Head; Slice 58/155
FLAIR magnetic resonance.
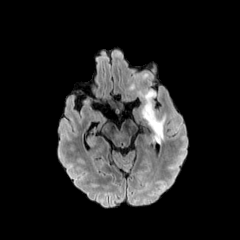
T1-weighted MR.
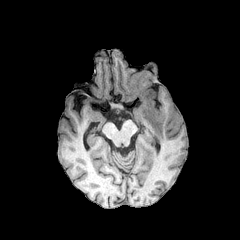
Post-contrast T1-weighted magnetic resonance.
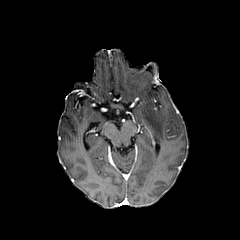
T2-weighted MR.
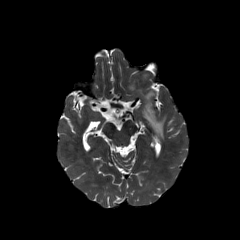
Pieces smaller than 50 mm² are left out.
Annotated regions:
* peritumoral edema: l=142, t=90, r=165, b=142